FLAIR MR image.
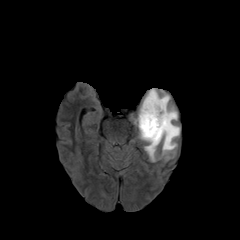
T1-weighted MR image.
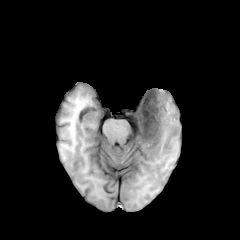
Post-contrast T1-weighted MRI.
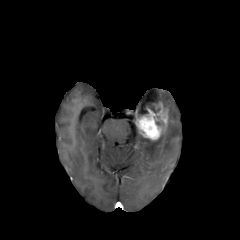
T2-weighted MRI.
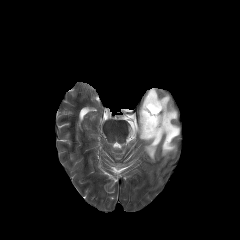
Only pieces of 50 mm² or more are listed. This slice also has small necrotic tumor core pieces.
The peritumoral edema appears at 137 88 180 161. The enhancing tumor is located at 134 101 168 140.